Head; Axial slice
FLAIR magnetic resonance.
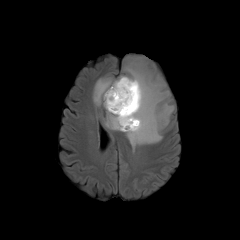
T1-weighted MR image.
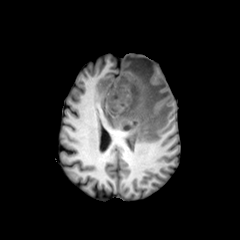
Post-contrast T1-weighted MRI.
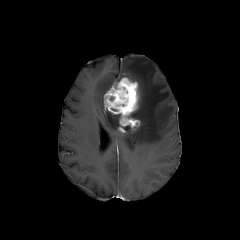
T2-weighted MRI.
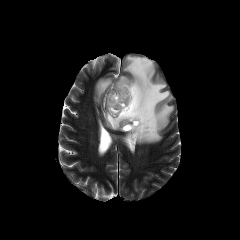
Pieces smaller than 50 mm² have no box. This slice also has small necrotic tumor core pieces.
The enhancing tumor is at box=[104, 77, 140, 132]. 2 peritumoral edema regions appear at box=[93, 56, 174, 149]; box=[104, 110, 119, 130].